Slice 52 of 155; Image size 240x240; Axial plane
FLAIR MR.
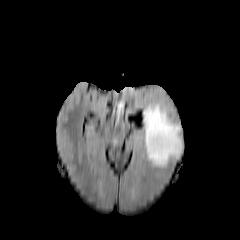
T1-weighted MR.
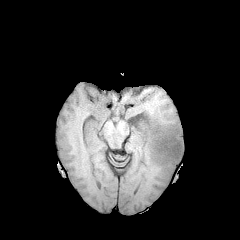
Post-contrast T1-weighted MR.
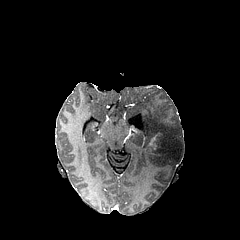
T2-weighted MR image.
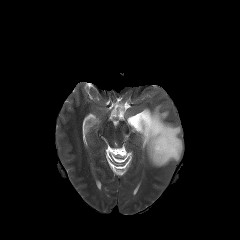
enhancing tumor = box(149, 136, 157, 149)
peritumoral edema = box(142, 103, 182, 167)